Axial plane. Head.
FLAIR MR.
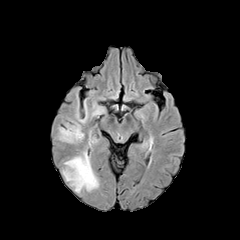
T1-weighted magnetic resonance.
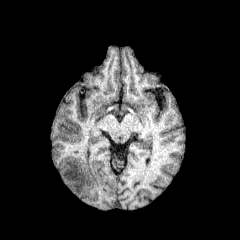
Post-contrast T1-weighted MR image.
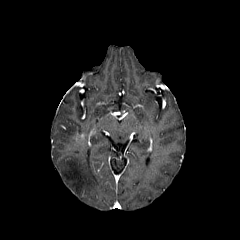
T2-weighted MR image.
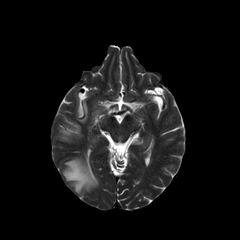
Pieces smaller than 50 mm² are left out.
The 2 largest peritumoral edema regions appear at <box>59,122,83,143</box>, <box>62,151,98,193</box>. The enhancing tumor is at <box>73,133,84,142</box>.